Image size 240x240. Axial slice.
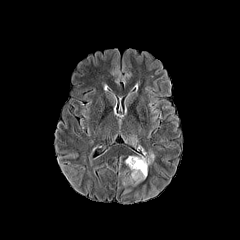
FLAIR MR.
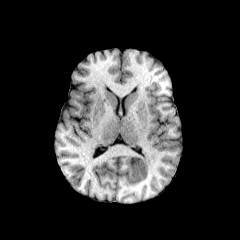
T1-weighted MRI of the same slice.
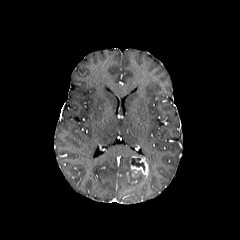
Same slice, post-contrast T1-weighted MR image.
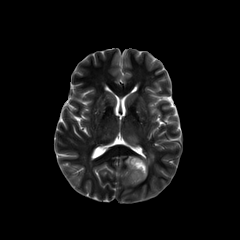
T2-weighted MRI of the same slice.
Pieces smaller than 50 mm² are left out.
The necrotic tumor core is bounded by x1=131 y1=158 x2=144 y2=170. The 3 largest peritumoral edema regions appear at x1=146 y1=152 x2=154 y2=164, x1=129 y1=136 x2=137 y2=145, x1=130 y1=173 x2=145 y2=183. The enhancing tumor lies within x1=130 y1=156 x2=148 y2=177.